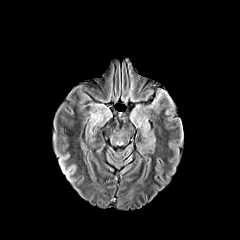
FLAIR MR image.
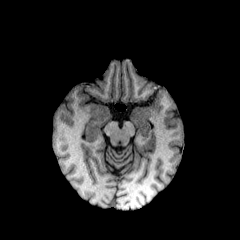
T1-weighted MRI.
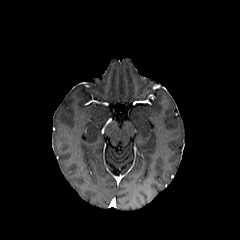
Post-contrast T1-weighted MR image.
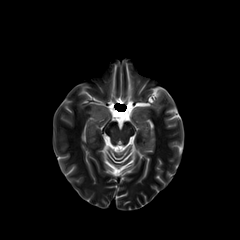
T2-weighted magnetic resonance.
240x240
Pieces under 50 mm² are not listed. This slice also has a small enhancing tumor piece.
The peritumoral edema is bounded by 91:112:102:121.